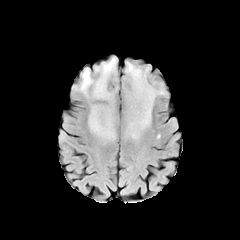
FLAIR magnetic resonance.
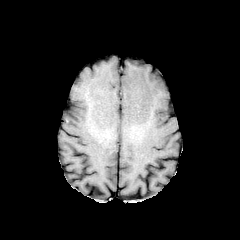
T1-weighted MRI.
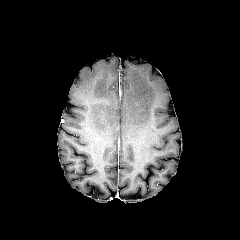
Post-contrast T1-weighted magnetic resonance.
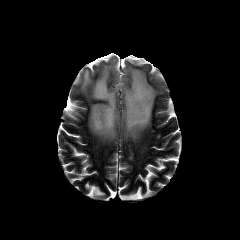
T2-weighted MR.
Image size 240x240.
<segmentation>
  <peritumoral_edema>box(123, 62, 164, 137); box(79, 57, 118, 138)</peritumoral_edema>
</segmentation>